Slice 88 of 155; 240x240 px
FLAIR MR.
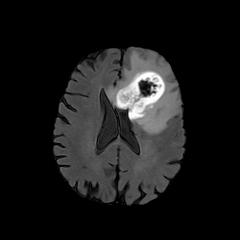
T1-weighted MR image.
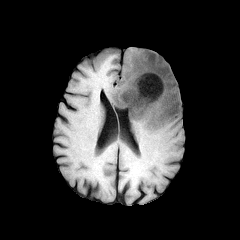
Post-contrast T1-weighted magnetic resonance.
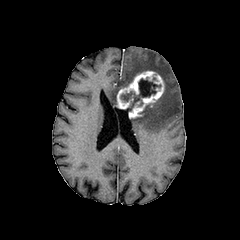
T2-weighted magnetic resonance.
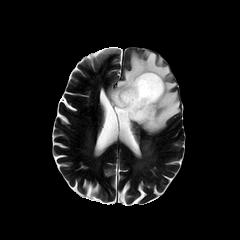
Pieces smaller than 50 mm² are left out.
peritumoral edema: l=107, t=51, r=180, b=134
enhancing tumor: l=116, t=71, r=164, b=118
necrotic tumor core: l=120, t=78, r=160, b=111